FLAIR MR image.
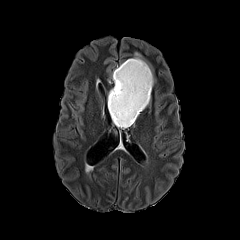
T1-weighted MRI.
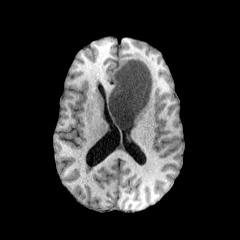
Post-contrast T1-weighted MRI.
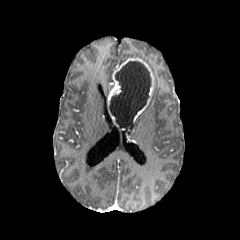
T2-weighted MR.
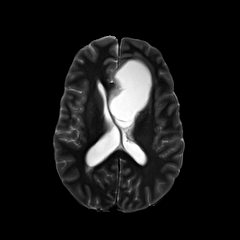
Image size 240x240, Brain, Axial plane
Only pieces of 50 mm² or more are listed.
necrotic_tumor_core:
  - rect(109, 61, 150, 127)
enhancing_tumor:
  - rect(108, 58, 153, 122)
peritumoral_edema:
  - rect(128, 52, 145, 61)